Slice 91 of 155. 240x240 px. Image width 240 mm, 1.00 mm slice spacing.
FLAIR MR.
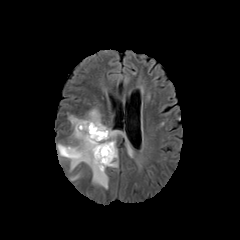
T1-weighted magnetic resonance.
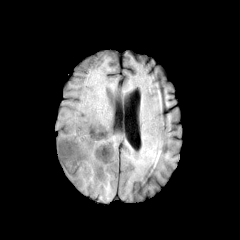
Post-contrast T1-weighted MR image.
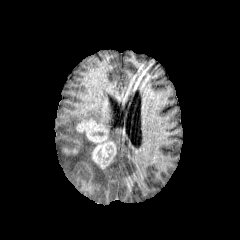
T2-weighted MR.
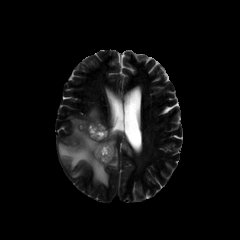
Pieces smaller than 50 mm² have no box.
Findings:
* enhancing tumor: 62:148:77:154, 76:119:116:168
* peritumoral edema: 107:147:118:167, 104:125:120:144, 57:108:108:188